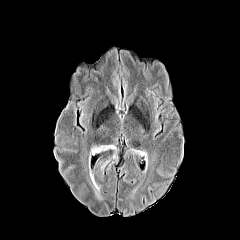
FLAIR MR.
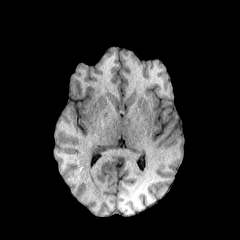
T1-weighted MR image.
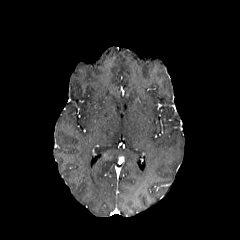
Same slice, post-contrast T1-weighted MR.
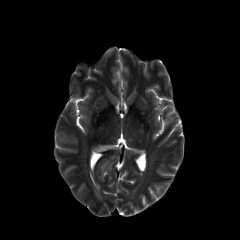
T2-weighted MRI.
Axial slice
The peritumoral edema lies within [88, 144, 117, 199].